FLAIR MR.
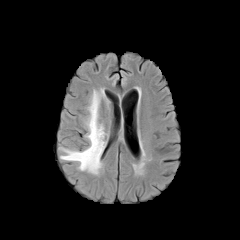
T1-weighted MR image.
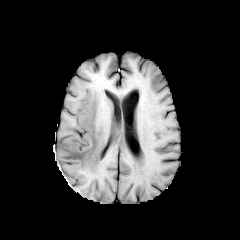
Post-contrast T1-weighted MR.
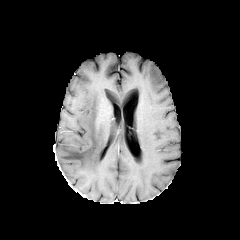
T2-weighted magnetic resonance.
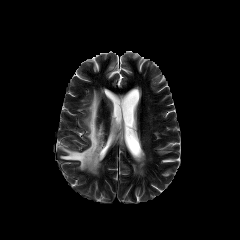
peritumoral_edema:
  - [60, 89, 105, 174]